FLAIR MRI.
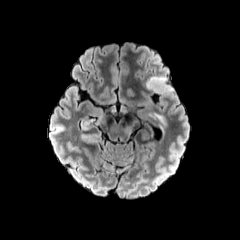
T1-weighted MR.
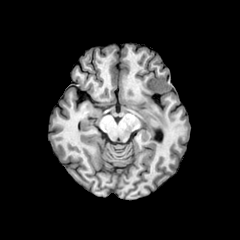
Post-contrast T1-weighted MR.
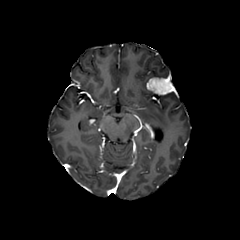
T2-weighted MR image.
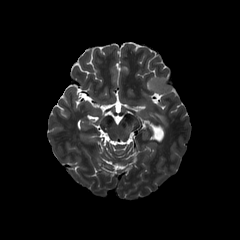
Head
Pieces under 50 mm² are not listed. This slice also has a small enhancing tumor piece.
peritumoral edema: box=[125, 121, 137, 133]; box=[149, 113, 165, 125]